Axial slice
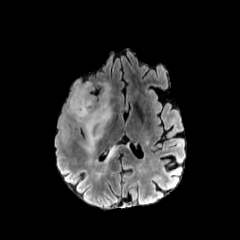
FLAIR magnetic resonance.
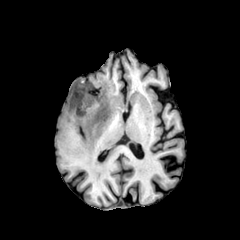
T1-weighted MRI of the same slice.
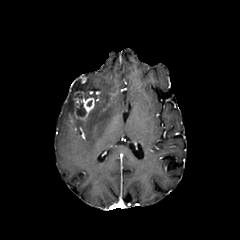
Same slice, post-contrast T1-weighted MR.
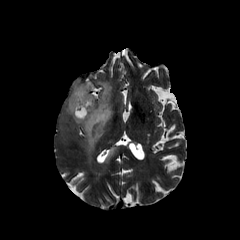
T2-weighted MR image.
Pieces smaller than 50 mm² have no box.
peritumoral edema: bounding box <bbox>66, 79, 112, 154</bbox>, <bbox>107, 148, 115, 159</bbox>
necrotic tumor core: bounding box <bbox>76, 103, 86, 116</bbox>
enhancing tumor: bounding box <bbox>74, 91, 95, 120</bbox>